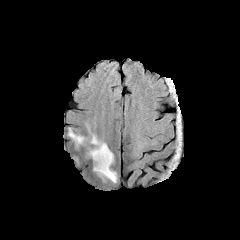
FLAIR MR image.
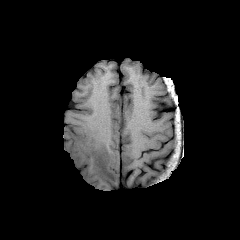
T1-weighted MR.
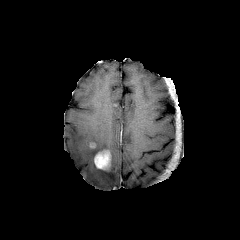
Post-contrast T1-weighted magnetic resonance of the same slice.
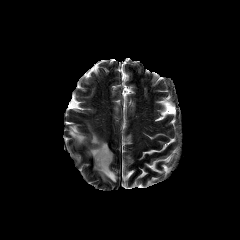
Same slice, T2-weighted MRI.
Brain. Axial plane.
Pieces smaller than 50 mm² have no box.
enhancing tumor: bbox=[94, 150, 110, 169]
peritumoral edema: bbox=[68, 126, 113, 164]; bbox=[93, 163, 117, 182]